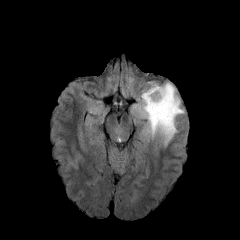
FLAIR MRI.
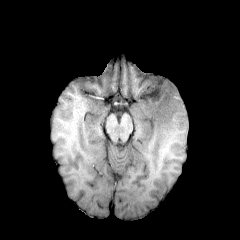
T1-weighted MR.
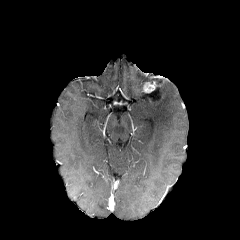
Post-contrast T1-weighted MRI.
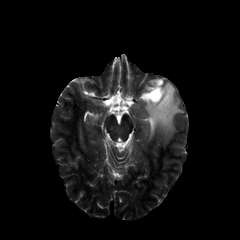
T2-weighted MRI.
Axial view, 240x240 px
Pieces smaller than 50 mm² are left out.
<segmentation>
  <enhancing_tumor>l=143, t=81, r=158, b=93; l=147, t=85, r=165, b=105</enhancing_tumor>
  <peritumoral_edema>l=132, t=82, r=184, b=145</peritumoral_edema>
  <necrotic_tumor_core>l=149, t=87, r=160, b=103</necrotic_tumor_core>
</segmentation>